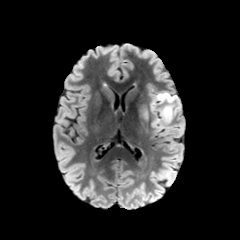
FLAIR MR image.
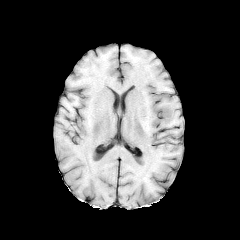
T1-weighted magnetic resonance.
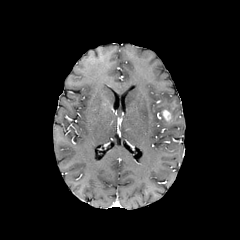
Post-contrast T1-weighted MR of the same slice.
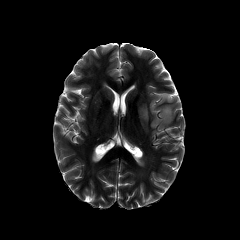
T2-weighted MR of the same slice.
Head
2 peritumoral edema regions are bounded by left=142, top=109, right=148, bottom=120; left=150, top=92, right=180, bottom=129. The enhancing tumor is bounded by left=162, top=110, right=171, bottom=122.